Head, Axial slice
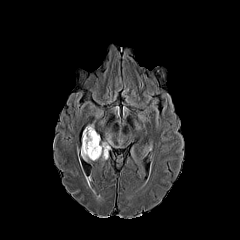
FLAIR magnetic resonance.
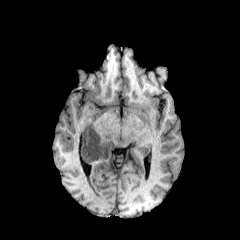
T1-weighted MR.
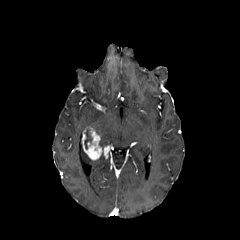
Post-contrast T1-weighted magnetic resonance of the same slice.
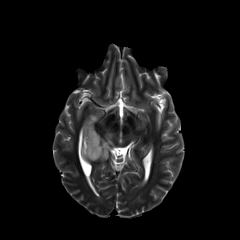
Same slice, T2-weighted magnetic resonance.
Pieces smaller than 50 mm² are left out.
Findings:
• enhancing tumor: region(82, 126, 110, 160)
• peritumoral edema: region(81, 147, 90, 160); region(101, 133, 112, 145)
• necrotic tumor core: region(84, 130, 92, 148)